FLAIR MR image.
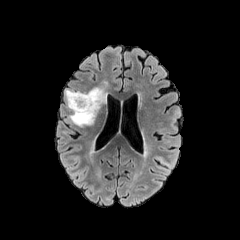
T1-weighted magnetic resonance.
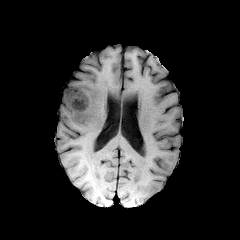
Post-contrast T1-weighted MR.
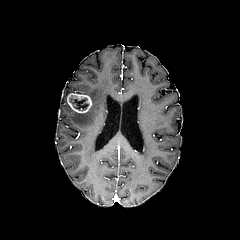
T2-weighted magnetic resonance.
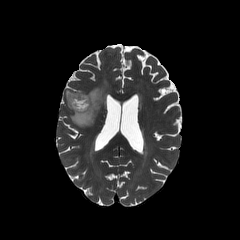
240x240 px. Head.
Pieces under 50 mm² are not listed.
The necrotic tumor core is located at [69, 98, 88, 109]. The largest peritumoral edema region is at [65, 87, 106, 126]. The enhancing tumor is bounded by [67, 93, 92, 113].